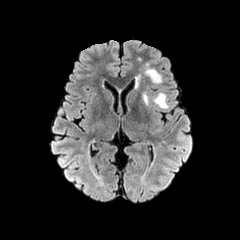
FLAIR magnetic resonance.
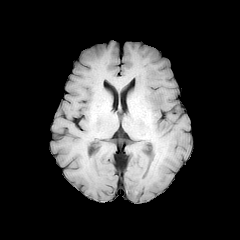
T1-weighted magnetic resonance of the same slice.
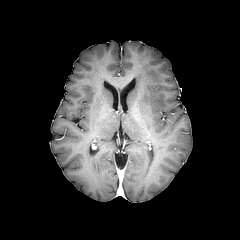
Post-contrast T1-weighted MR.
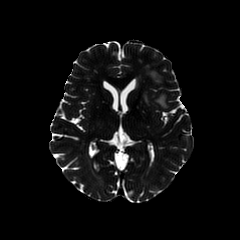
T2-weighted MR.
Axial view; Head; 240x240
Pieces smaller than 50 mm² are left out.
The 2 largest peritumoral edema regions are bounded by 153, 93, 167, 108; 146, 69, 160, 83.